FLAIR MR.
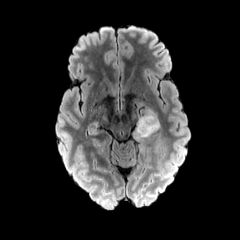
T1-weighted magnetic resonance.
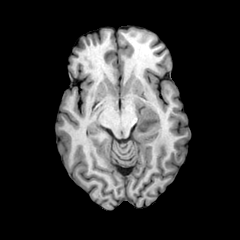
Post-contrast T1-weighted magnetic resonance.
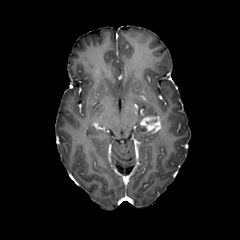
T2-weighted MR.
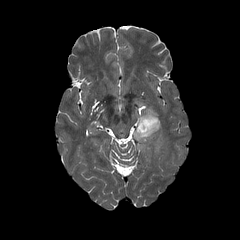
Axial view
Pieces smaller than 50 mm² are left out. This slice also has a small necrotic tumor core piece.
<segmentation>
  <peritumoral_edema>(left=142, top=108, right=156, bottom=114), (left=133, top=115, right=155, bottom=141)</peritumoral_edema>
  <enhancing_tumor>(left=140, top=114, right=160, bottom=133)</enhancing_tumor>
</segmentation>